240x240, Head, Image width 240 mm, 1.00 mm slice spacing
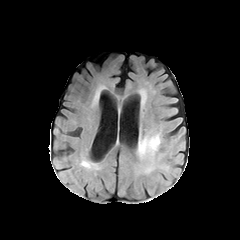
FLAIR magnetic resonance.
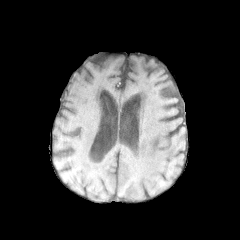
T1-weighted MR image.
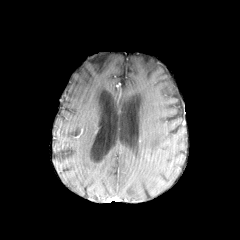
Post-contrast T1-weighted MR of the same slice.
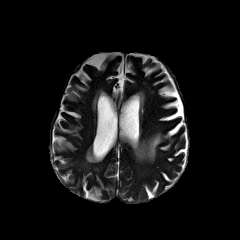
Same slice, T2-weighted magnetic resonance.
peritumoral_edema:
  - box=[137, 133, 161, 160]